FLAIR MR image.
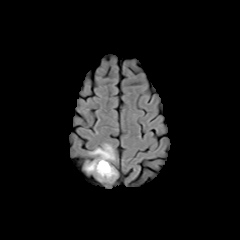
T1-weighted MRI.
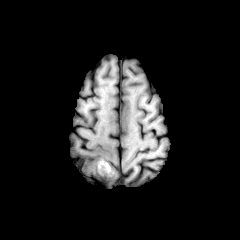
Post-contrast T1-weighted MR image.
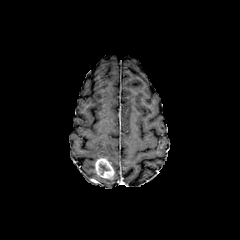
T2-weighted magnetic resonance.
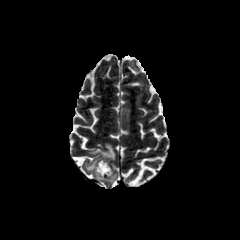
Brain. 240x240 px.
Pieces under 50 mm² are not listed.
The necrotic tumor core lies within box=[99, 164, 109, 174]. The enhancing tumor appears at box=[95, 158, 114, 179]. The 2 largest peritumoral edema regions are located at box=[90, 144, 115, 160]; box=[85, 159, 97, 173].